Slice 96/155, Axial plane
FLAIR MR.
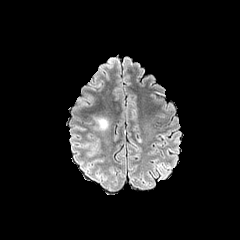
T1-weighted MRI.
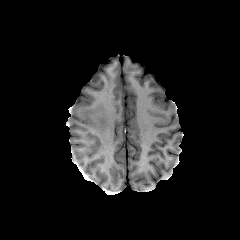
Post-contrast T1-weighted magnetic resonance.
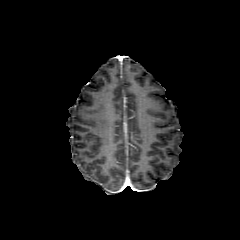
T2-weighted MR.
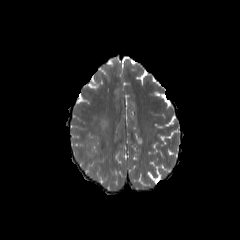
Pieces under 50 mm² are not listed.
peritumoral edema: bounding box x1=95 y1=117 x2=108 y2=130